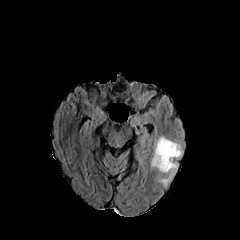
FLAIR MR image.
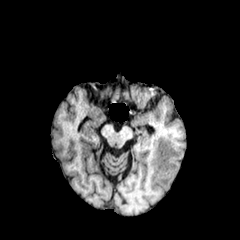
T1-weighted MR.
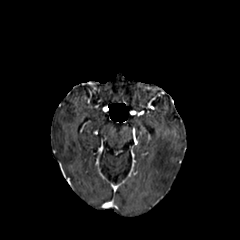
Post-contrast T1-weighted MR image of the same slice.
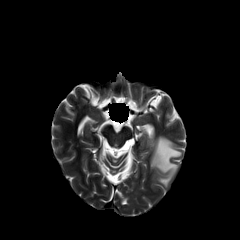
T2-weighted MR.
peritumoral_edema:
  - region(151, 136, 182, 186)